Axial view | Image width 240 mm
FLAIR MR.
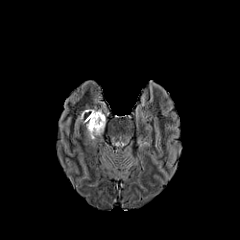
T1-weighted MR image.
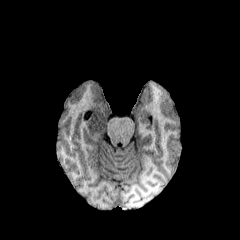
Post-contrast T1-weighted MRI.
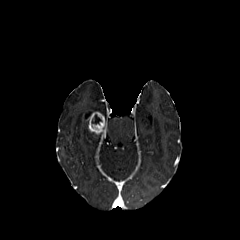
T2-weighted MR image.
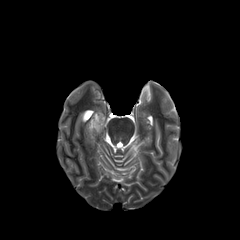
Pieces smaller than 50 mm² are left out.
Segmented structures:
• peritumoral edema: <box>86,124,96,139</box>
• enhancing tumor: <box>86,112,105,134</box>
• necrotic tumor core: <box>92,114,101,123</box>